FLAIR MR image.
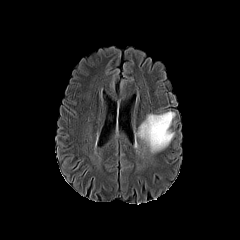
T1-weighted MRI.
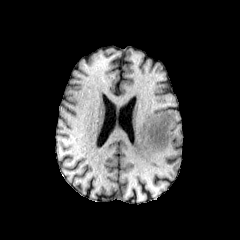
Post-contrast T1-weighted MR image.
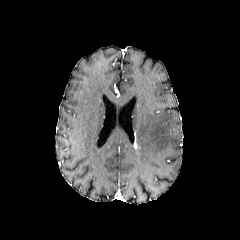
T2-weighted MR.
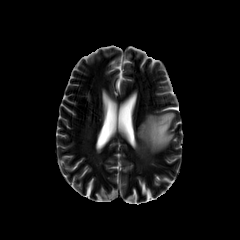
peritumoral edema at <bbox>137, 111, 175, 153</bbox>